FLAIR magnetic resonance.
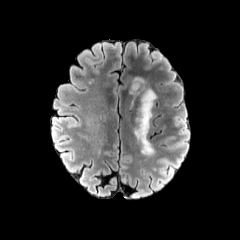
T1-weighted MR.
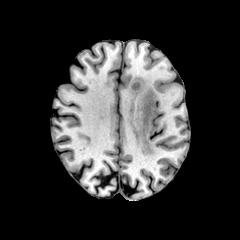
Post-contrast T1-weighted MRI.
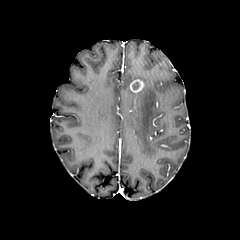
T2-weighted magnetic resonance.
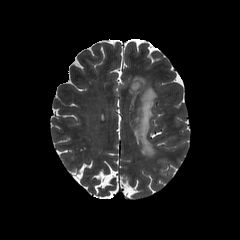
Brain; Axial view; Image size 240x240
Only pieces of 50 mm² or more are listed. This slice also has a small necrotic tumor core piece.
enhancing tumor: x1=130, y1=79, x2=144, y2=92
peritumoral edema: x1=134, y1=87, x2=156, y2=156